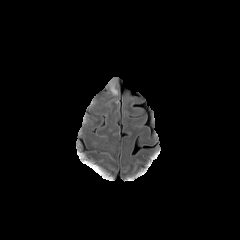
FLAIR MR image.
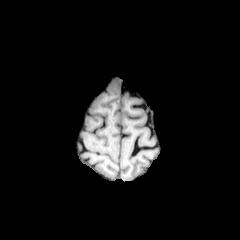
T1-weighted MR of the same slice.
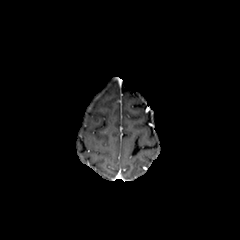
Post-contrast T1-weighted MR.
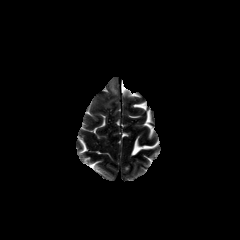
T2-weighted magnetic resonance.
Axial slice. Head. 240x240.
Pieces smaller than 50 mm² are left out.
The largest peritumoral edema region lies within box=[109, 79, 119, 96].